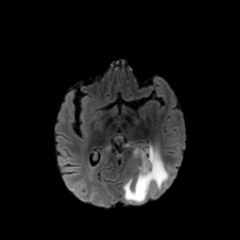
FLAIR MR.
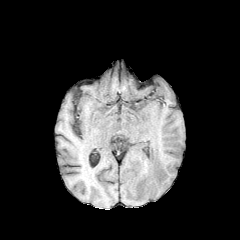
T1-weighted MR image.
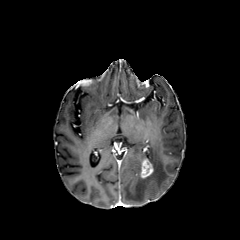
Same slice, post-contrast T1-weighted MRI.
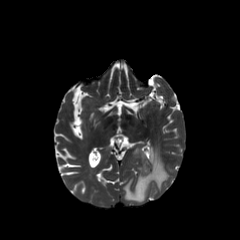
T2-weighted MR image.
240x240 px; Axial plane
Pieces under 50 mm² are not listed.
The largest peritumoral edema region appears at (123,146,168,202). The enhancing tumor is located at (140,158,153,178).